Axial slice | Brain
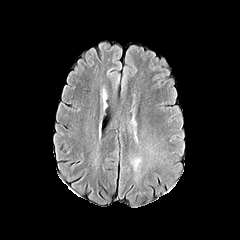
FLAIR magnetic resonance.
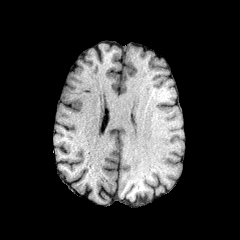
Same slice, T1-weighted MR image.
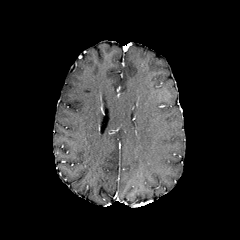
Same slice, post-contrast T1-weighted magnetic resonance.
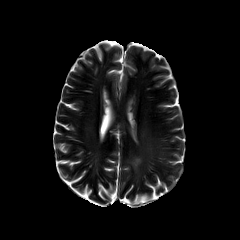
Same slice, T2-weighted MR image.
peritumoral_edema:
  - [132, 158, 140, 170]